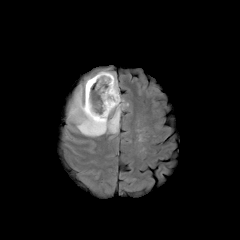
FLAIR MR.
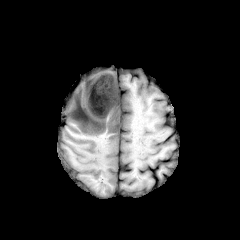
T1-weighted MR image.
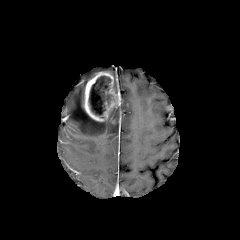
Same slice, post-contrast T1-weighted MRI.
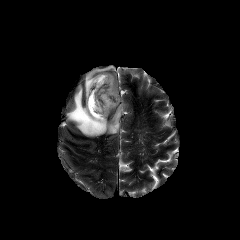
T2-weighted magnetic resonance.
Head
The necrotic tumor core appears at (89, 84, 105, 115). The enhancing tumor is bounded by (83, 71, 121, 121). The peritumoral edema is located at (66, 65, 128, 136).